FLAIR magnetic resonance.
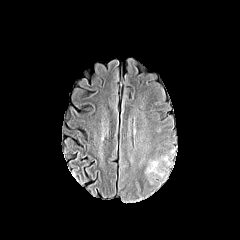
T1-weighted MRI.
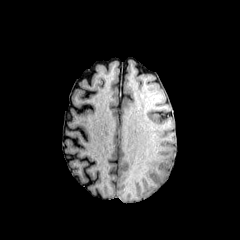
Post-contrast T1-weighted magnetic resonance.
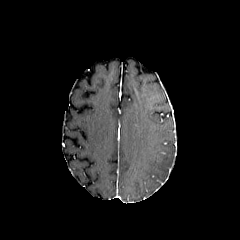
T2-weighted MR image.
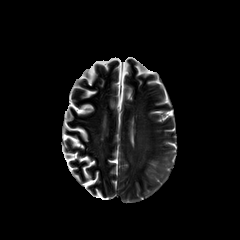
Image size 240x240.
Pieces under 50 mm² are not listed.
peritumoral edema: x1=148 y1=161 x2=157 y2=171